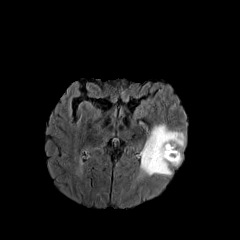
FLAIR MRI.
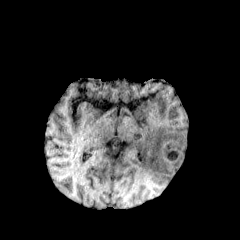
T1-weighted MR image of the same slice.
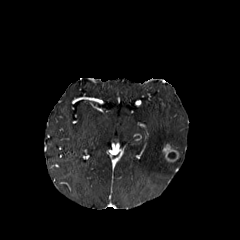
Post-contrast T1-weighted MR image.
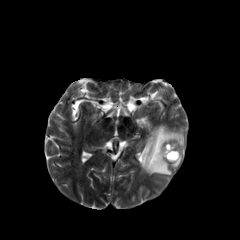
T2-weighted MRI.
Image size 240x240 | Head | Axial plane
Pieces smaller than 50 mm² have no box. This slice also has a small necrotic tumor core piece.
The enhancing tumor lies within 162, 144, 179, 162. The peritumoral edema lies within 140, 124, 185, 175.